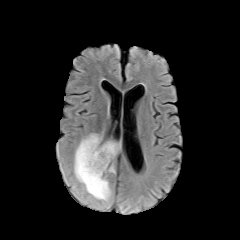
FLAIR magnetic resonance.
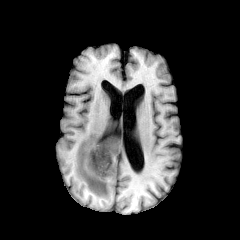
Same slice, T1-weighted MRI.
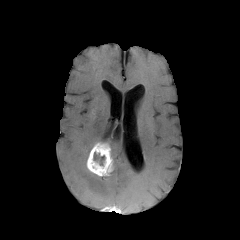
Post-contrast T1-weighted MRI.
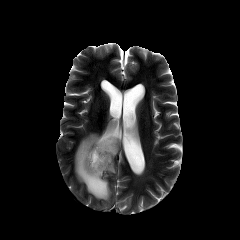
T2-weighted MR image.
Head; 240x240
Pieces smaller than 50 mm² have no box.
necrotic tumor core: [94, 152, 105, 168] | peritumoral edema: [74, 133, 120, 208] | enhancing tumor: [86, 141, 113, 176]